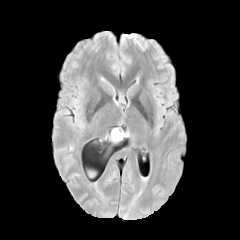
FLAIR MRI.
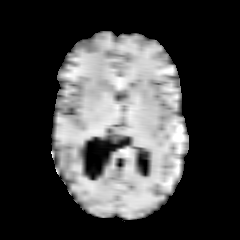
T1-weighted magnetic resonance of the same slice.
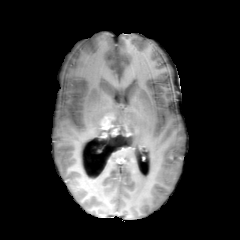
Post-contrast T1-weighted MR.
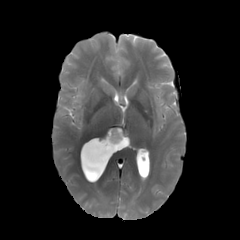
T2-weighted MR image of the same slice.
Brain; 240x240 px
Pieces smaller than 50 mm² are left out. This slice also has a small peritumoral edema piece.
- enhancing tumor: (102, 119, 120, 137)
- necrotic tumor core: (108, 130, 124, 143)